240x240. Image covers 240 mm x 240 mm. Brain.
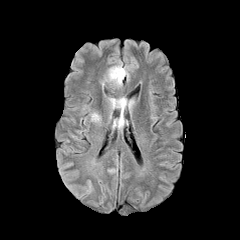
FLAIR MR image.
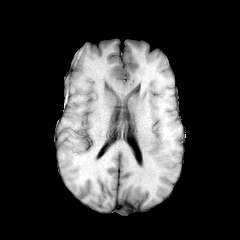
T1-weighted MRI.
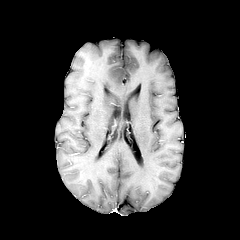
Same slice, post-contrast T1-weighted MR image.
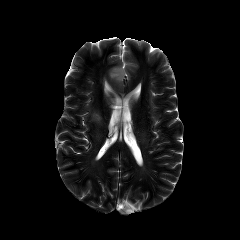
T2-weighted magnetic resonance.
Segmented structures:
- peritumoral edema: (x1=108, y1=65, x2=128, y2=86), (x1=91, y1=113, x2=100, y2=121), (x1=121, y1=97, x2=128, y2=107)